Axial plane | Head | Slice 53/155
FLAIR MR image.
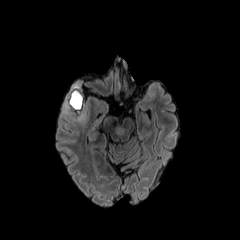
T1-weighted MR image.
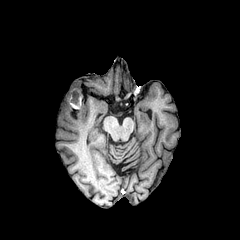
Post-contrast T1-weighted magnetic resonance.
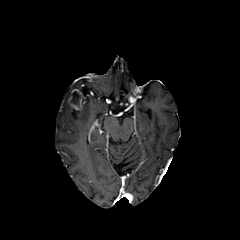
T2-weighted MR.
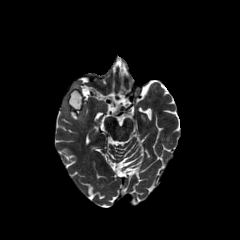
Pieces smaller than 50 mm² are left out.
{
  "necrotic_tumor_core": [
    "bbox(71, 91, 80, 106)"
  ],
  "enhancing_tumor": [
    "bbox(68, 89, 82, 110)"
  ],
  "peritumoral_edema": [
    "bbox(63, 101, 69, 114)",
    "bbox(77, 108, 85, 121)"
  ]
}